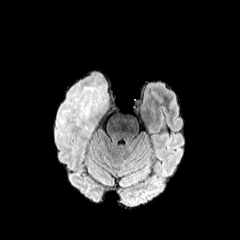
FLAIR MR.
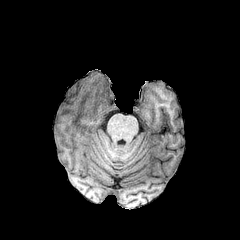
Same slice, T1-weighted MR image.
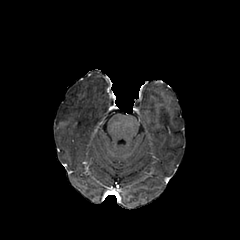
Post-contrast T1-weighted MR image.
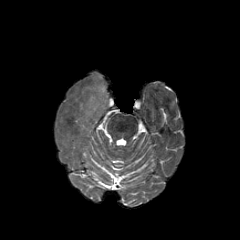
Same slice, T2-weighted magnetic resonance.
Brain; Axial view
- peritumoral edema: 55, 71, 110, 131